240x240; Brain; Slice 48/155; Axial slice
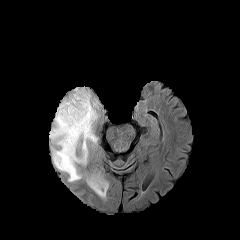
FLAIR MR.
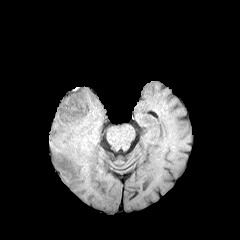
T1-weighted MR image of the same slice.
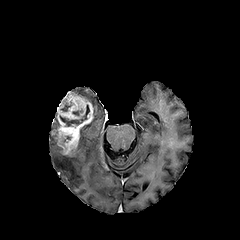
Post-contrast T1-weighted MRI.
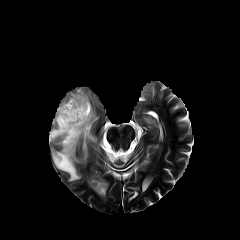
T2-weighted MR of the same slice.
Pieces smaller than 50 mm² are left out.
enhancing tumor: 51,91,93,155 | necrotic tumor core: 60,105,89,126 | peritumoral edema: 87,173,108,197; 51,112,59,130; 49,87,99,181